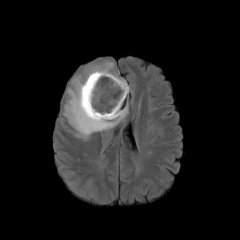
FLAIR MRI.
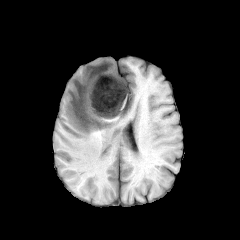
T1-weighted MR image.
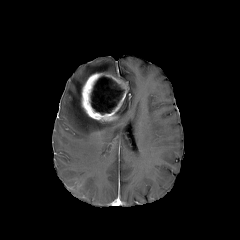
Post-contrast T1-weighted MR.
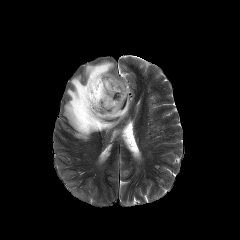
T2-weighted magnetic resonance of the same slice.
Head.
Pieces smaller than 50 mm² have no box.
Findings:
• peritumoral edema: x1=63, y1=61, x2=128, y2=140
• necrotic tumor core: x1=90, y1=76, x2=124, y2=114
• enhancing tumor: x1=81, y1=72, x2=129, y2=121